Image size 240x240; Axial plane; Image covers 240 mm x 240 mm
FLAIR MR image.
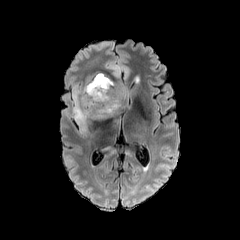
T1-weighted magnetic resonance.
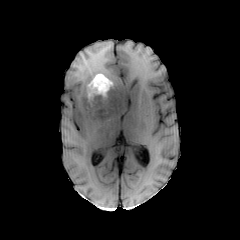
Post-contrast T1-weighted MRI.
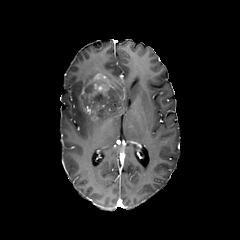
T2-weighted MR image.
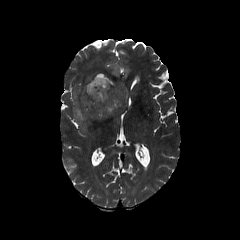
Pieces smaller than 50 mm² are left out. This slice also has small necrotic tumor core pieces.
2 peritumoral edema regions appear at 110:65:119:75, 72:72:128:130. The enhancing tumor is located at 82:73:109:98.